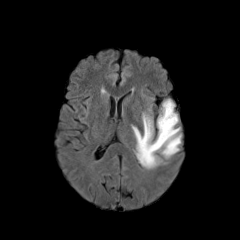
FLAIR magnetic resonance.
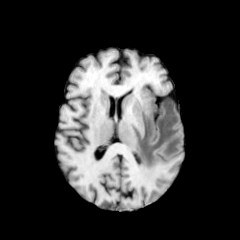
Same slice, T1-weighted MR.
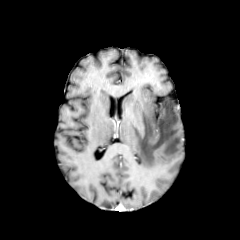
Same slice, post-contrast T1-weighted magnetic resonance.
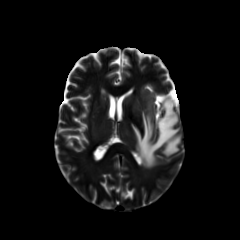
T2-weighted MR image.
240x240
* peritumoral edema: <bbox>133, 100, 180, 165</bbox>